Axial slice | Slice 83/155
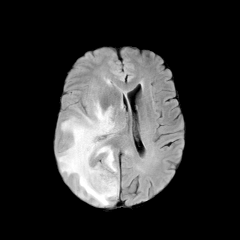
FLAIR magnetic resonance.
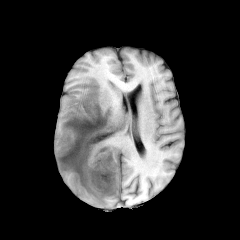
T1-weighted MR.
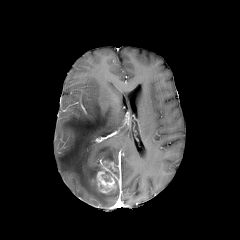
Post-contrast T1-weighted MR of the same slice.
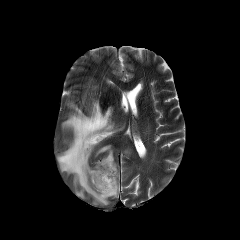
T2-weighted MRI.
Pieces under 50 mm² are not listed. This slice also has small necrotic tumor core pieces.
Segmented structures:
* peritumoral edema: box(57, 100, 118, 205)
* enhancing tumor: box(92, 163, 118, 193); box(102, 160, 118, 178)